Slice 109/155, Axial view
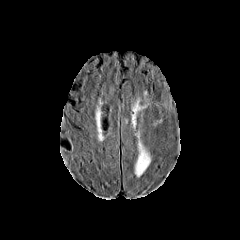
FLAIR MR image.
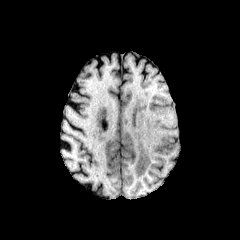
Same slice, T1-weighted magnetic resonance.
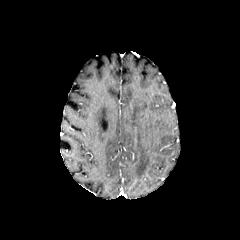
Same slice, post-contrast T1-weighted magnetic resonance.
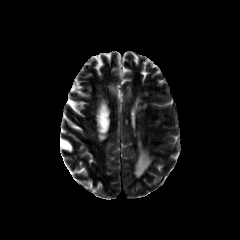
Same slice, T2-weighted MR image.
peritumoral edema — 132, 100, 143, 128; 135, 141, 150, 176